FLAIR magnetic resonance.
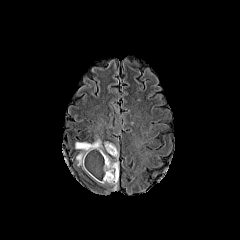
T1-weighted MR image.
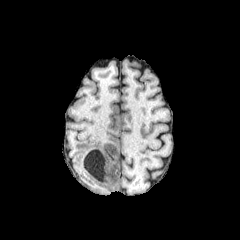
Post-contrast T1-weighted MRI.
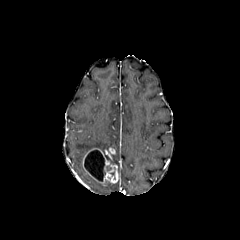
T2-weighted MR.
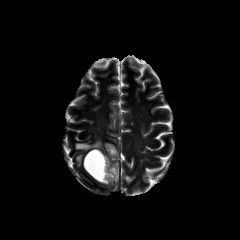
240x240 px.
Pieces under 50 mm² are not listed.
necrotic_tumor_core:
  - x1=84, y1=150, x2=105, y2=181
enhancing_tumor:
  - x1=83, y1=148, x2=118, y2=185
peritumoral_edema:
  - x1=105, y1=142, x2=115, y2=150
  - x1=75, y1=140, x2=102, y2=166